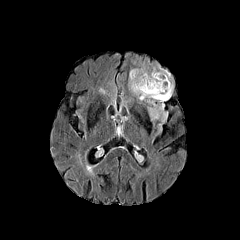
FLAIR MRI.
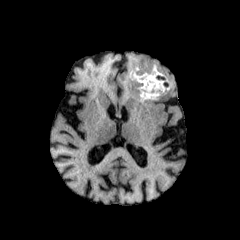
T1-weighted MR of the same slice.
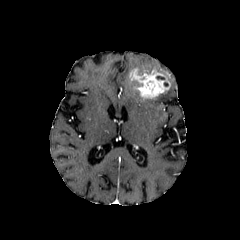
Post-contrast T1-weighted MR.
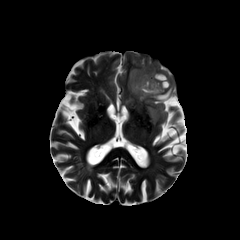
T2-weighted MRI.
Image size 240x240.
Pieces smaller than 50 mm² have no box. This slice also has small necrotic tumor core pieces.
The enhancing tumor lies within (x1=129, y1=68, x2=170, y2=98). The 2 largest peritumoral edema regions are bounded by (x1=129, y1=77, x2=173, y2=121), (x1=139, y1=64, x2=150, y2=74).